Axial plane, Image size 240x240
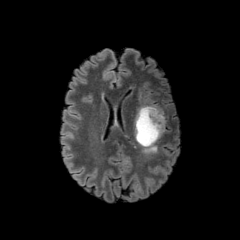
FLAIR MRI.
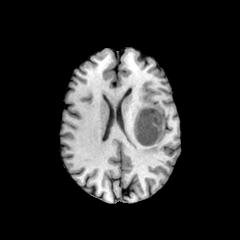
T1-weighted MR.
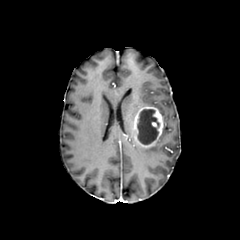
Same slice, post-contrast T1-weighted magnetic resonance.
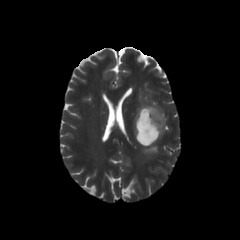
T2-weighted magnetic resonance of the same slice.
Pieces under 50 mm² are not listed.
necrotic tumor core: (137,109,159,144) | enhancing tumor: (133,106,163,147) | peritumoral edema: (138,89,165,134), (143,144,157,153)